FLAIR MR.
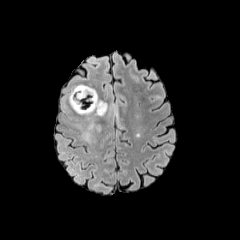
T1-weighted MR.
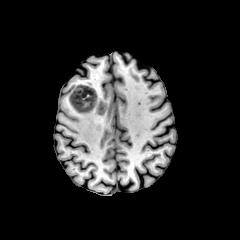
Post-contrast T1-weighted MRI.
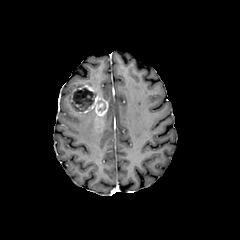
T2-weighted MR image.
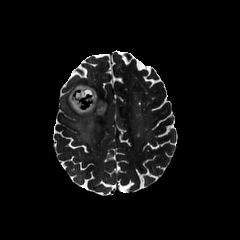
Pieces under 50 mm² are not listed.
{"enhancing_tumor": ["box=[71, 85, 108, 116]"], "necrotic_tumor_core": ["box=[72, 88, 94, 110]"], "peritumoral_edema": ["box=[68, 84, 101, 144]"]}